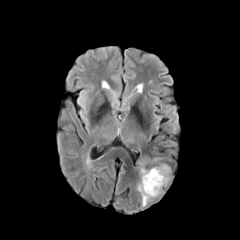
FLAIR magnetic resonance.
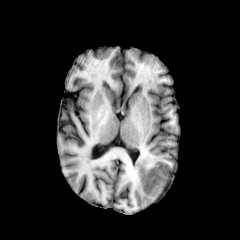
T1-weighted MRI.
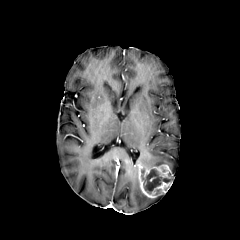
Same slice, post-contrast T1-weighted MRI.
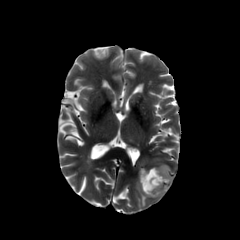
T2-weighted magnetic resonance.
Brain, Axial view
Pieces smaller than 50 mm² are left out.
The largest enhancing tumor region is at box(139, 164, 172, 198). The 2 largest peritumoral edema regions appear at box(137, 182, 150, 206); box(140, 157, 162, 166). The largest necrotic tumor core region appears at box(144, 169, 170, 192).